Axial view
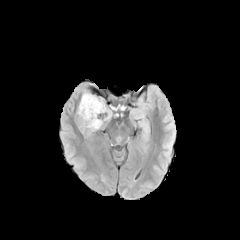
FLAIR magnetic resonance.
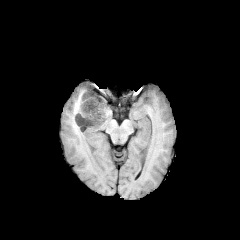
T1-weighted MRI of the same slice.
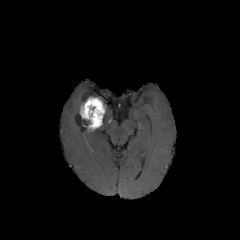
Same slice, post-contrast T1-weighted magnetic resonance.
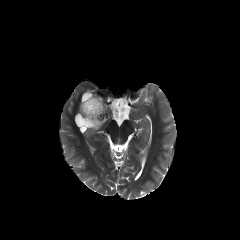
T2-weighted magnetic resonance.
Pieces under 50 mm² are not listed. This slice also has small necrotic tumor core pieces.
peritumoral edema: (x1=96, y1=107, x2=112, y2=129) | enhancing tumor: (x1=78, y1=96, x2=107, y2=131)